FLAIR magnetic resonance.
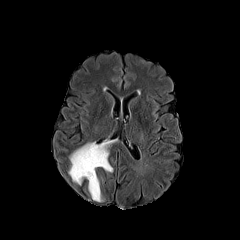
T1-weighted magnetic resonance.
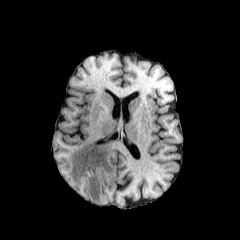
Post-contrast T1-weighted MRI.
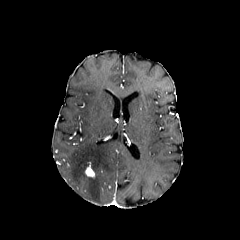
T2-weighted MRI.
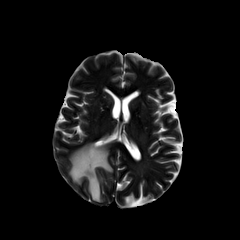
Head, 240x240 px
peritumoral edema: rect(68, 141, 112, 201)
enhancing tumor: rect(85, 162, 95, 177)